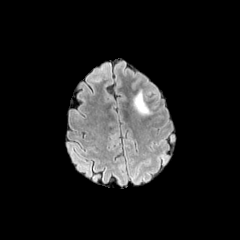
FLAIR MR.
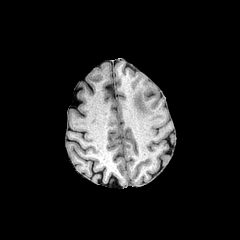
T1-weighted MRI of the same slice.
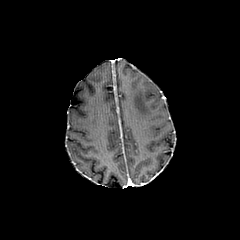
Same slice, post-contrast T1-weighted MR image.
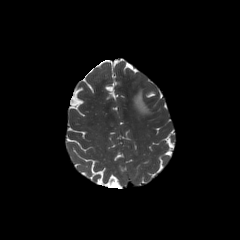
T2-weighted MR image.
240x240, Axial plane
peritumoral edema — 134:91:150:114